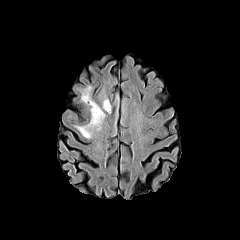
FLAIR MRI.
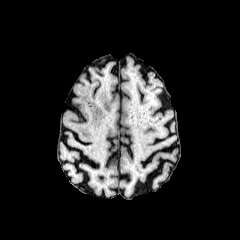
Same slice, T1-weighted MR.
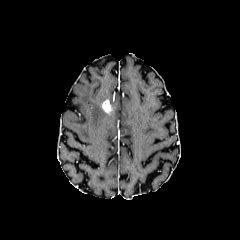
Post-contrast T1-weighted MR image.
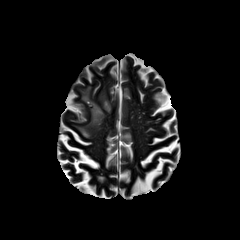
T2-weighted MR image of the same slice.
Brain
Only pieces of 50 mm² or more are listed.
Annotated regions:
* enhancing tumor: 102,99,111,113
* peritumoral edema: 76,86,105,138